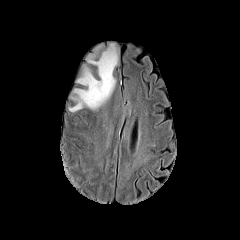
FLAIR MR image.
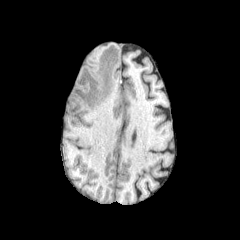
T1-weighted MR.
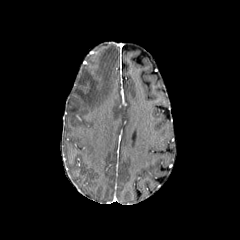
Same slice, post-contrast T1-weighted MR image.
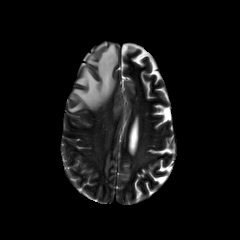
Same slice, T2-weighted magnetic resonance.
<segmentation>
  <peritumoral_edema>[69, 44, 117, 111]</peritumoral_edema>
</segmentation>